FLAIR MR.
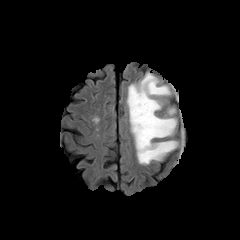
T1-weighted magnetic resonance.
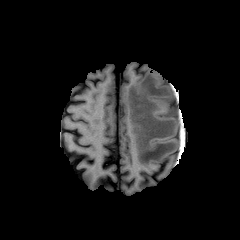
Post-contrast T1-weighted magnetic resonance.
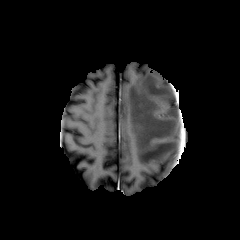
T2-weighted MRI.
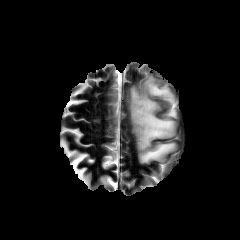
Axial slice
peritumoral edema: bounding box 127:73:177:164